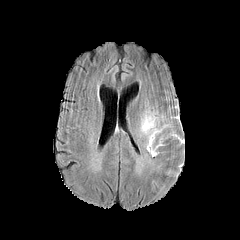
FLAIR MR image.
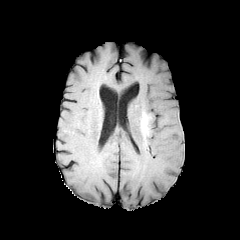
Same slice, T1-weighted magnetic resonance.
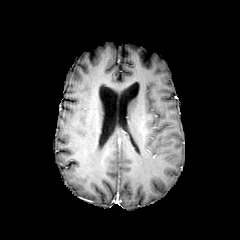
Same slice, post-contrast T1-weighted MRI.
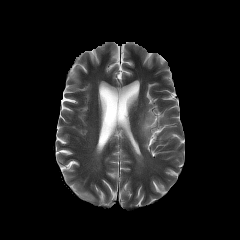
T2-weighted MR of the same slice.
240x240; Head
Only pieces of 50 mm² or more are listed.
{"peritumoral_edema": [{"x1": 142, "y1": 114, "x2": 161, "y2": 150}]}